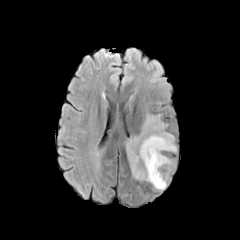
FLAIR MR image.
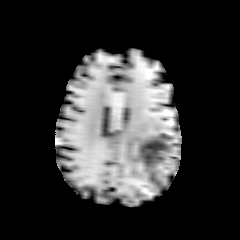
T1-weighted MRI.
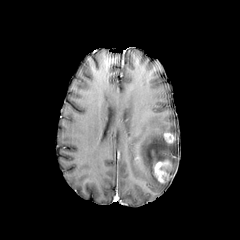
Post-contrast T1-weighted magnetic resonance of the same slice.
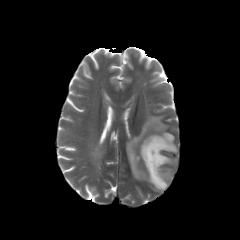
T2-weighted MR of the same slice.
Axial slice. Head. Image size 240x240.
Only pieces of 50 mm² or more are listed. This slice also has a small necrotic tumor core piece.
peritumoral edema — region(126, 115, 177, 190)
enhancing tumor — region(164, 133, 174, 142); region(153, 159, 171, 183)